Axial view; Head; Slice 86/155
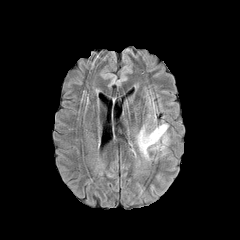
FLAIR magnetic resonance.
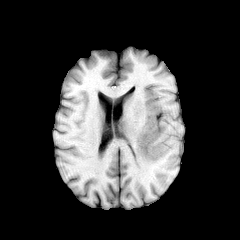
T1-weighted MRI.
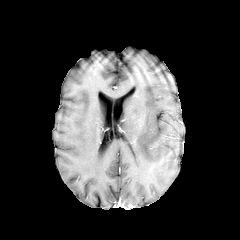
Post-contrast T1-weighted MRI.
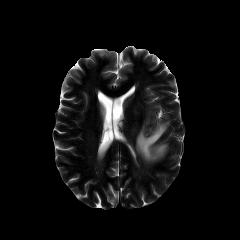
T2-weighted MR image of the same slice.
{"peritumoral_edema": ["<bbox>137, 124, 167, 159</bbox>"]}